Slice index 92, Head
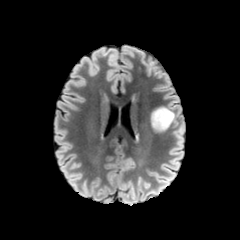
FLAIR magnetic resonance.
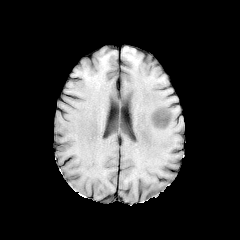
Same slice, T1-weighted MRI.
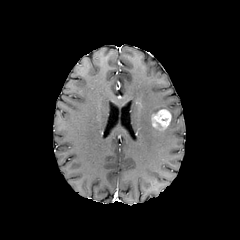
Same slice, post-contrast T1-weighted magnetic resonance.
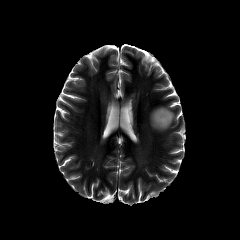
Same slice, T2-weighted MRI.
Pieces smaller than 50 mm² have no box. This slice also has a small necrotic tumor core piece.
The enhancing tumor is located at [151,109,171,129]. The largest peritumoral edema region appears at [151,107,176,131].